240x240 | Axial slice
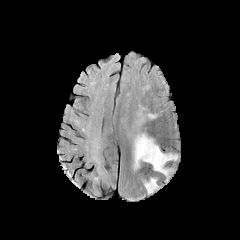
FLAIR MRI.
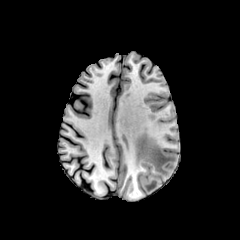
T1-weighted MRI.
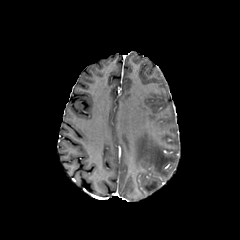
Same slice, post-contrast T1-weighted MR image.
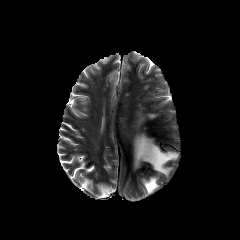
T2-weighted MRI of the same slice.
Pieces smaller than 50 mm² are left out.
peritumoral edema = box(133, 133, 177, 176); box(137, 112, 144, 125); box(144, 177, 158, 193)